FLAIR magnetic resonance.
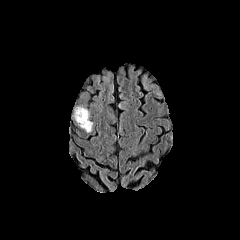
T1-weighted MR image.
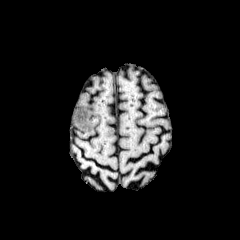
Post-contrast T1-weighted MR.
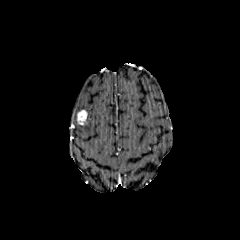
T2-weighted MR.
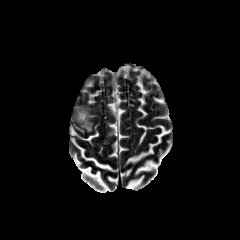
Head. Axial plane.
peritumoral_edema:
  - bbox(75, 107, 92, 132)
enhancing_tumor:
  - bbox(77, 110, 87, 125)